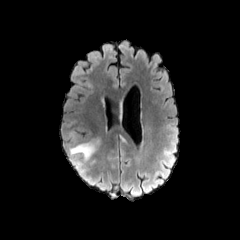
FLAIR MR image.
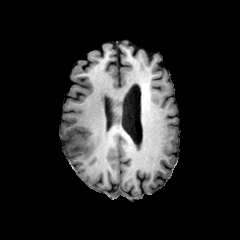
T1-weighted magnetic resonance of the same slice.
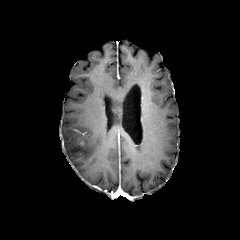
Post-contrast T1-weighted MRI of the same slice.
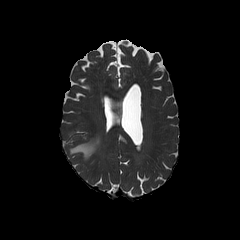
T2-weighted MRI.
Image size 240x240; Brain
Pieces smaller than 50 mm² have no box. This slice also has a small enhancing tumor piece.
* peritumoral edema: (68, 136, 101, 160)